Brain, Slice 50/155
FLAIR MRI.
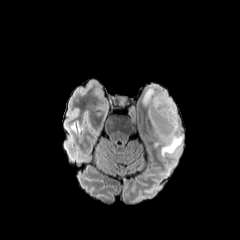
T1-weighted magnetic resonance.
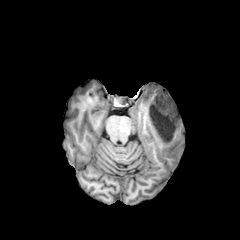
Post-contrast T1-weighted magnetic resonance.
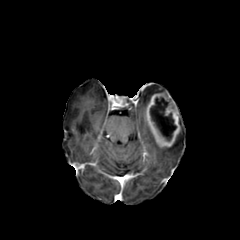
T2-weighted MR.
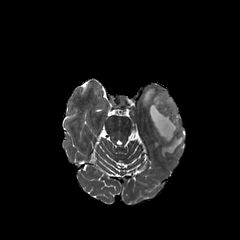
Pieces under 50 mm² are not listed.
The 2 largest peritumoral edema regions appear at bbox(161, 118, 183, 156); bbox(142, 84, 165, 106). The necrotic tumor core is bounded by bbox(150, 97, 176, 141). The enhancing tumor is at bbox(145, 90, 180, 147).